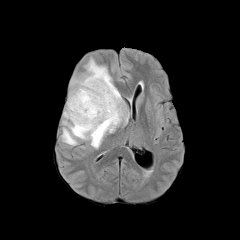
FLAIR MR.
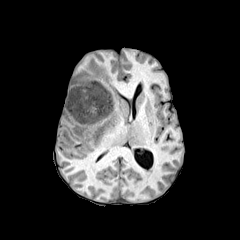
T1-weighted MR.
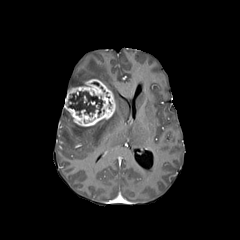
Post-contrast T1-weighted MR image of the same slice.
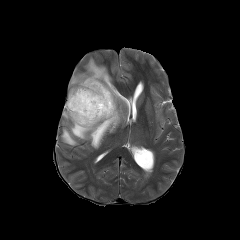
T2-weighted MR image.
Brain.
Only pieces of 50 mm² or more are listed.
<segmentation>
  <peritumoral_edema>61,58,127,148</peritumoral_edema>
  <necrotic_tumor_core>68,91,104,116</necrotic_tumor_core>
  <enhancing_tumor>64,79,115,126</enhancing_tumor>
</segmentation>